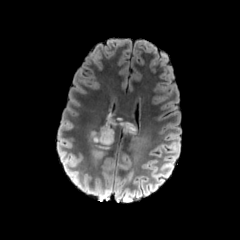
FLAIR magnetic resonance.
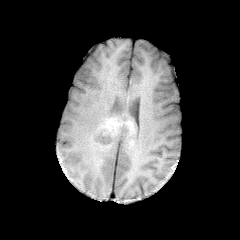
T1-weighted magnetic resonance.
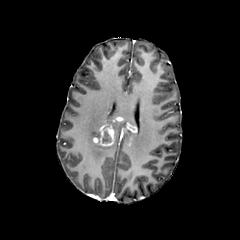
Post-contrast T1-weighted magnetic resonance.
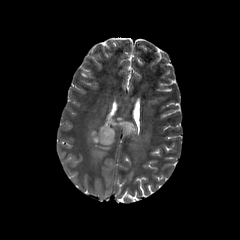
T2-weighted MR.
Axial plane. Brain.
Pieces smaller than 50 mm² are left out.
Segmented structures:
• necrotic tumor core: <box>102,130,111,142</box>
• enhancing tumor: <box>121,122,136,134</box>, <box>93,121,115,145</box>
• peritumoral edema: <box>106,115,125,132</box>, <box>88,130,111,166</box>, <box>129,133,150,159</box>